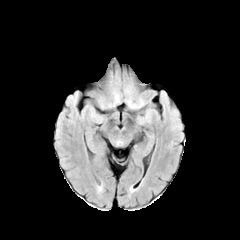
FLAIR magnetic resonance.
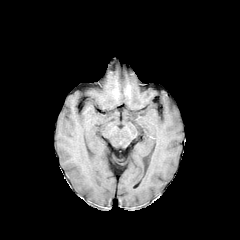
T1-weighted MR image.
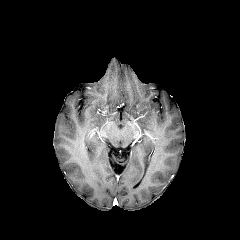
Post-contrast T1-weighted MRI of the same slice.
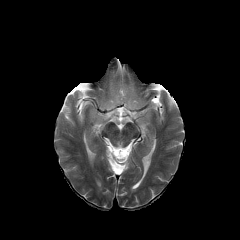
T2-weighted MRI.
Head
peritumoral edema = box=[109, 94, 120, 106]; box=[125, 97, 144, 108]